FLAIR MR.
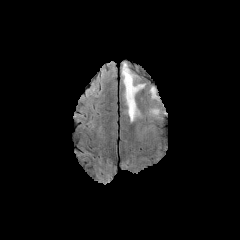
T1-weighted magnetic resonance.
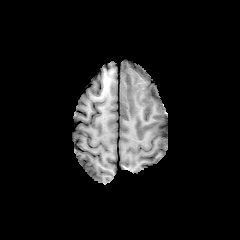
Post-contrast T1-weighted MR.
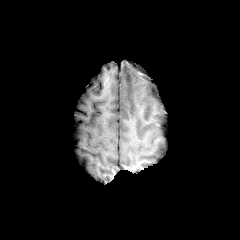
T2-weighted magnetic resonance.
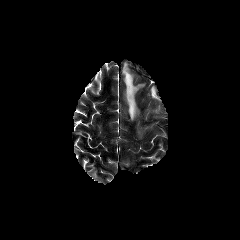
Brain
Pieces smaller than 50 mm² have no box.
The 2 largest peritumoral edema regions are bounded by x1=150 y1=87 x2=158 y2=99, x1=122 y1=63 x2=144 y2=121.